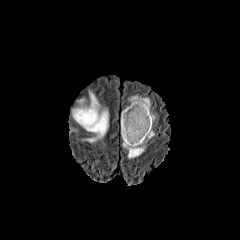
FLAIR MR image.
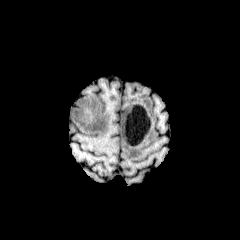
T1-weighted MR image.
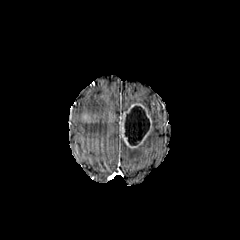
Post-contrast T1-weighted MR image of the same slice.
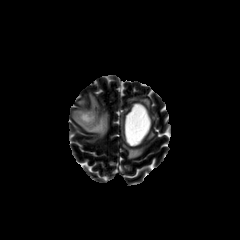
T2-weighted MRI.
Axial view | Brain | 240x240 px
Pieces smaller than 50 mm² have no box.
enhancing tumor: left=120, top=103, right=151, bottom=148; left=81, top=112, right=93, bottom=122
peritumoral edema: left=123, top=130, right=154, bottom=158; left=73, top=92, right=108, bottom=142; left=129, top=96, right=154, bottom=123
necrotic tumor core: left=124, top=106, right=149, bottom=145